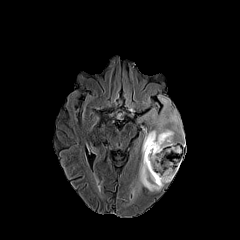
FLAIR magnetic resonance.
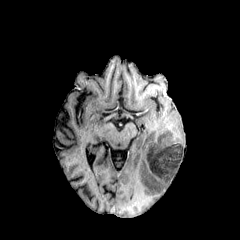
T1-weighted MR of the same slice.
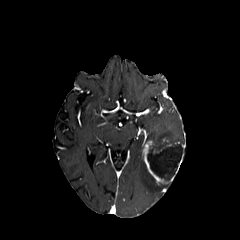
Post-contrast T1-weighted MR of the same slice.
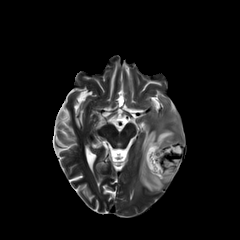
Same slice, T2-weighted magnetic resonance.
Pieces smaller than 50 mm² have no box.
peritumoral edema: bounding box l=145, t=98, r=182, b=143; l=138, t=156, r=165, b=191
enhancing tumor: bounding box l=142, t=140, r=174, b=184
necrotic tumor core: bounding box l=147, t=142, r=182, b=180